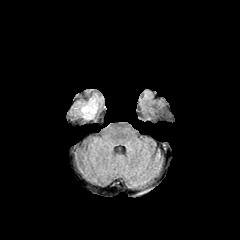
FLAIR MR.
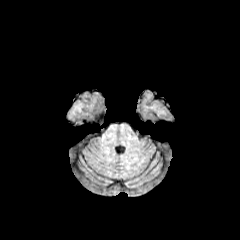
Same slice, T1-weighted MRI.
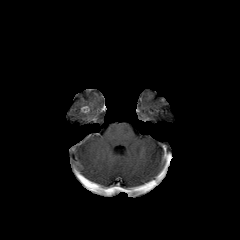
Post-contrast T1-weighted MRI of the same slice.
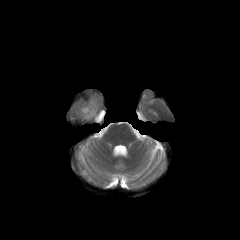
T2-weighted MR image.
peritumoral edema: bounding box (78,95,101,119)
enhancing tumor: bounding box (81,106,89,113)